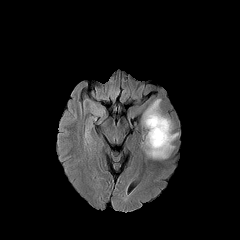
FLAIR MRI.
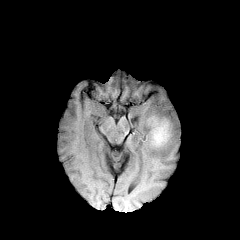
Same slice, T1-weighted MR.
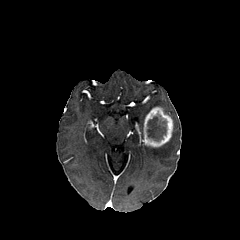
Post-contrast T1-weighted MRI.
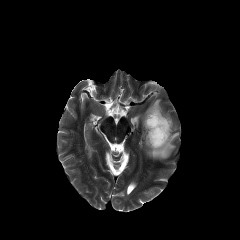
T2-weighted MR image of the same slice.
Head.
enhancing tumor at bbox(143, 106, 173, 147)
peritumoral edema at bbox(144, 132, 178, 158); bbox(142, 99, 160, 126)
necrotic tumor core at bbox(147, 116, 166, 141)